FLAIR MR.
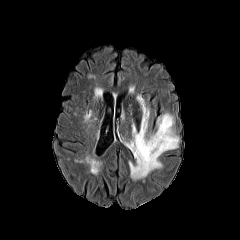
T1-weighted MR.
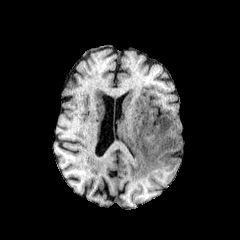
Post-contrast T1-weighted magnetic resonance.
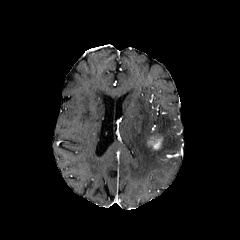
T2-weighted magnetic resonance.
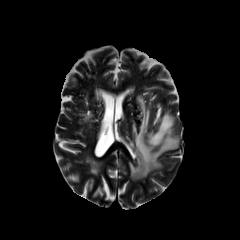
Image size 240x240. Brain. Axial view.
The enhancing tumor is at (x1=147, y1=133, x2=163, y2=150). The peritumoral edema is at (x1=126, y1=95, x2=179, y2=179).